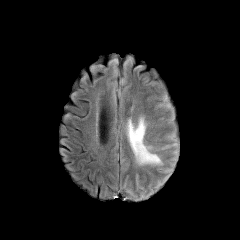
FLAIR magnetic resonance.
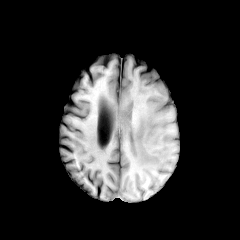
Same slice, T1-weighted MRI.
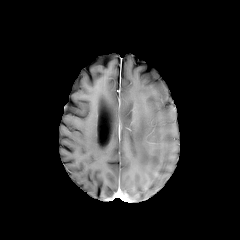
Post-contrast T1-weighted MRI.
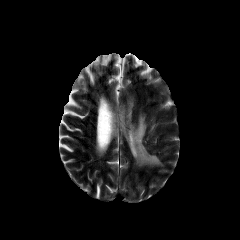
Same slice, T2-weighted MRI.
Brain, 240x240 px, Axial view
{
  "peritumoral_edema": [
    "(left=128, top=117, right=159, bottom=163)"
  ]
}